FLAIR MR image.
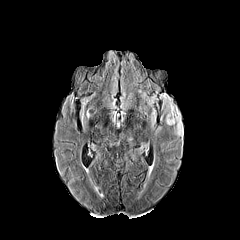
T1-weighted magnetic resonance.
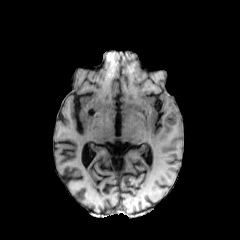
Post-contrast T1-weighted MR.
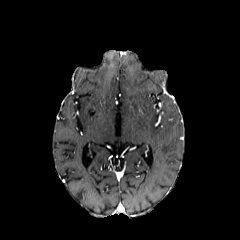
T2-weighted MRI.
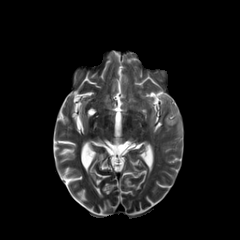
Axial plane; 240x240 px
{
  "peritumoral_edema": [
    "<box>161,95,182,135</box>"
  ]
}